Axial plane; Slice index 106
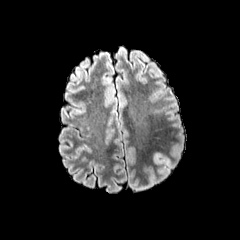
FLAIR MR image.
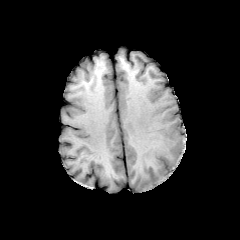
T1-weighted MR.
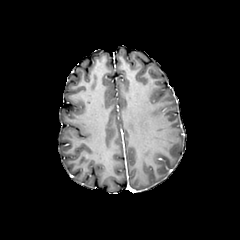
Post-contrast T1-weighted MR.
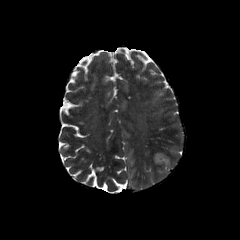
Same slice, T2-weighted MR image.
Segmented structures:
• peritumoral edema: rect(154, 153, 172, 168)